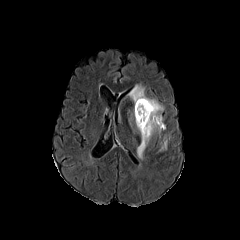
FLAIR magnetic resonance.
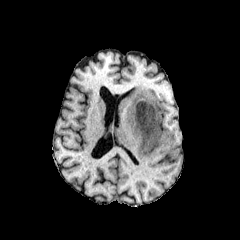
T1-weighted MR image of the same slice.
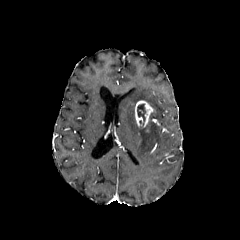
Post-contrast T1-weighted MR image of the same slice.
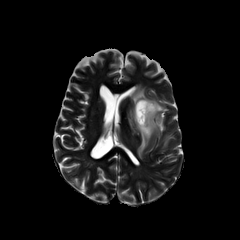
T2-weighted MR.
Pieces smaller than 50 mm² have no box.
Segmented structures:
• peritumoral edema: <box>161,137,167,149</box>, <box>129,84,164,158</box>
• enhancing tumor: <box>135,100,155,127</box>
• necrotic tumor core: <box>137,104,145,121</box>